Axial view, Image size 240x240, Slice 94 of 155, Brain
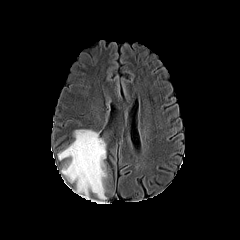
FLAIR MR image.
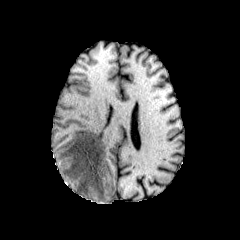
T1-weighted MR of the same slice.
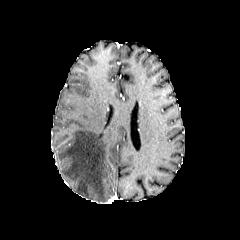
Post-contrast T1-weighted MRI.
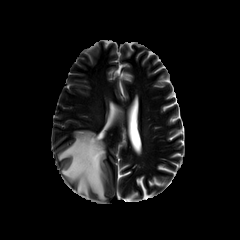
T2-weighted MRI.
peritumoral_edema:
  - x1=58 y1=130 x2=106 y2=202